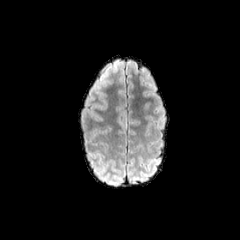
FLAIR MR image.
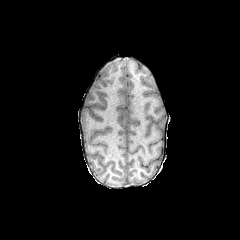
T1-weighted MR image of the same slice.
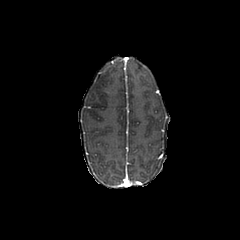
Post-contrast T1-weighted MRI.
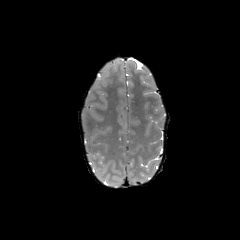
Same slice, T2-weighted MR.
The peritumoral edema lies within 116 93 123 112.